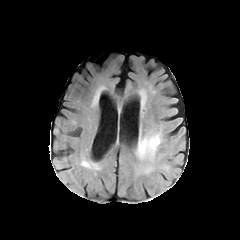
FLAIR MR.
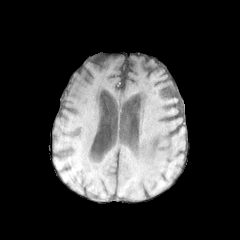
T1-weighted MRI.
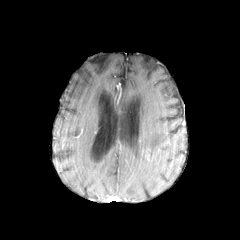
Post-contrast T1-weighted MR image of the same slice.
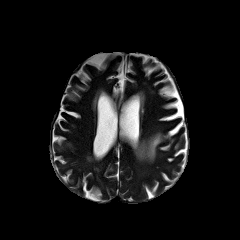
T2-weighted magnetic resonance.
Brain
peritumoral edema: <bbox>135, 132, 163, 161</bbox>